FLAIR magnetic resonance.
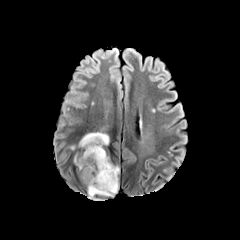
T1-weighted MRI.
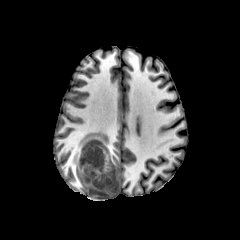
Post-contrast T1-weighted MR.
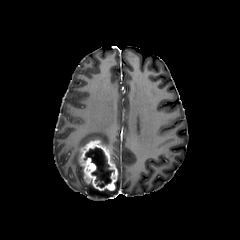
T2-weighted magnetic resonance.
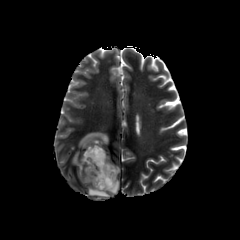
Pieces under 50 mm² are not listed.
necrotic tumor core at 84,147,113,187
peritumoral edema at 87,178,119,198; 73,153,84,182; 78,132,109,147
enhancing tumor at 79,139,117,190